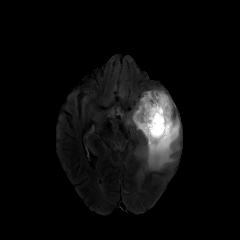
FLAIR MR image.
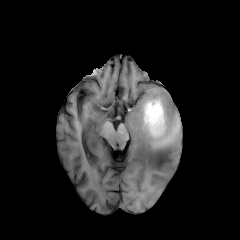
T1-weighted magnetic resonance of the same slice.
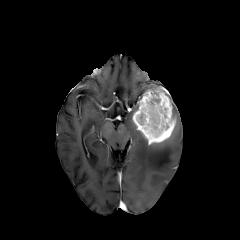
Post-contrast T1-weighted magnetic resonance of the same slice.
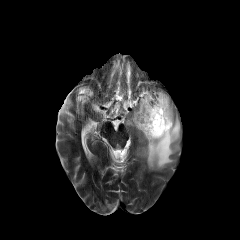
Same slice, T2-weighted MR.
Axial plane
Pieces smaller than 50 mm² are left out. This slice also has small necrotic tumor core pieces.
peritumoral edema: bbox=[126, 103, 138, 129]; bbox=[137, 101, 180, 170]
enhancing tumor: bbox=[132, 88, 175, 144]